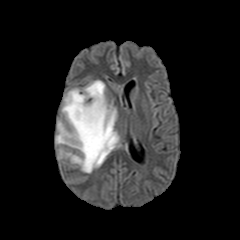
FLAIR MRI.
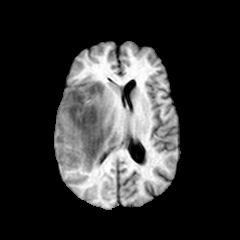
T1-weighted MRI.
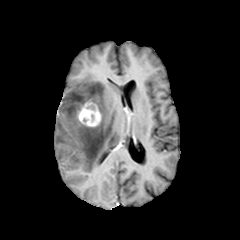
Post-contrast T1-weighted MR of the same slice.
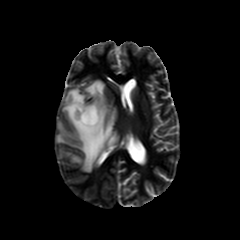
Same slice, T2-weighted MR image.
Axial slice
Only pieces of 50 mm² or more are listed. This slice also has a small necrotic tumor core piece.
<segmentation>
  <peritumoral_edema><box>55,80,119,172</box></peritumoral_edema>
  <enhancing_tumor><box>78,102,101,126</box></enhancing_tumor>
</segmentation>